Image width 240 mm, 1.00 mm slice spacing | Head
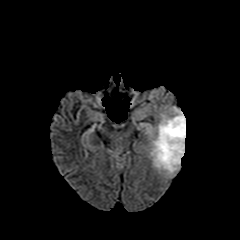
FLAIR MR image.
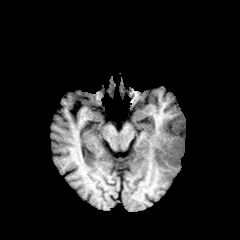
Same slice, T1-weighted MR image.
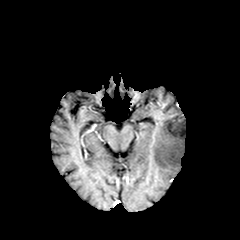
Same slice, post-contrast T1-weighted MR image.
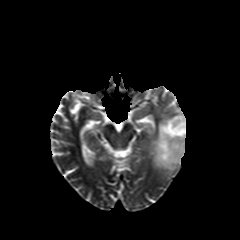
T2-weighted MR.
{
  "peritumoral_edema": [
    "150 106 185 173"
  ]
}